FLAIR MR image.
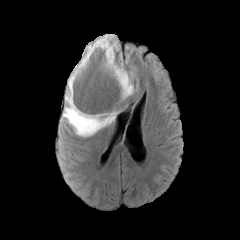
T1-weighted MR image.
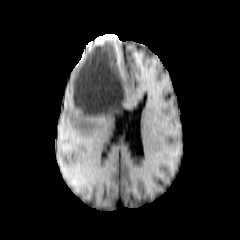
Post-contrast T1-weighted MR image.
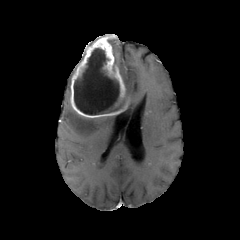
T2-weighted MRI.
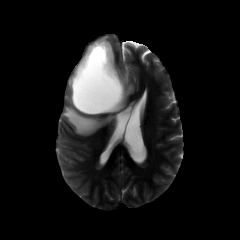
Image size 240x240. Head.
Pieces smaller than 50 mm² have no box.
Findings:
- enhancing tumor: left=70, top=35, right=130, bottom=118
- necrotic tumor core: left=74, top=48, right=119, bottom=114
- peritumoral edema: left=108, top=39, right=118, bottom=55; left=62, top=73, right=115, bottom=136; left=116, top=63, right=135, bottom=99